Head, Axial slice, Slice 100/155
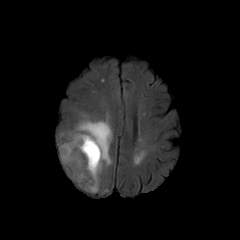
FLAIR MRI.
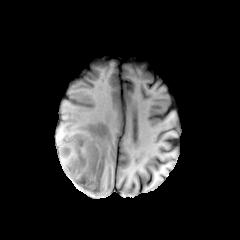
T1-weighted MRI of the same slice.
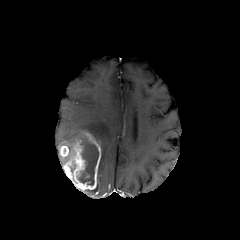
Post-contrast T1-weighted magnetic resonance.
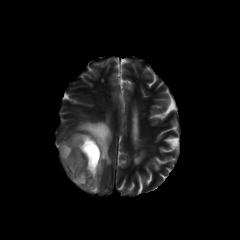
T2-weighted MR image of the same slice.
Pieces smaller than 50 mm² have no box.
Segmented structures:
- peritumoral edema: box=[58, 115, 112, 193]
- necrotic tumor core: box=[79, 140, 98, 184]
- enhancing tumor: box=[63, 131, 101, 191]; box=[60, 145, 68, 156]